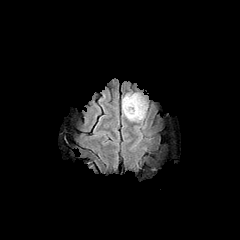
FLAIR MR image.
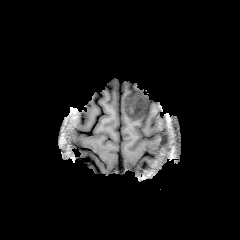
T1-weighted magnetic resonance.
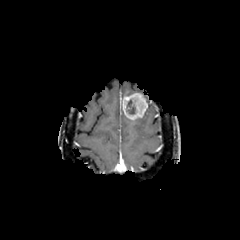
Same slice, post-contrast T1-weighted MR.
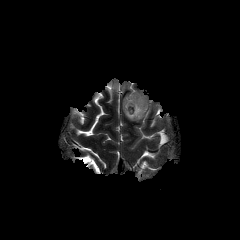
T2-weighted MRI.
Head
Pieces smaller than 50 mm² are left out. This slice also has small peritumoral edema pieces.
The enhancing tumor is located at (x1=122, y1=92, x2=147, y2=120). The necrotic tumor core is bounded by (x1=127, y1=99, x2=135, y2=114).